240x240 px, Head, Axial plane
FLAIR MR.
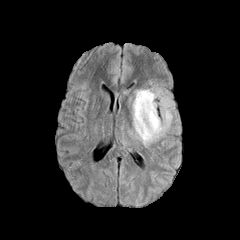
T1-weighted MRI.
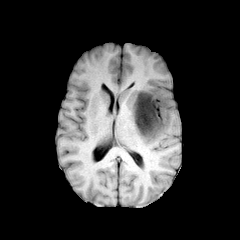
Post-contrast T1-weighted MR image.
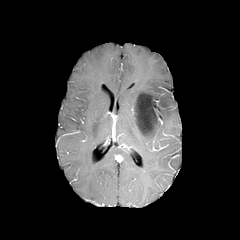
T2-weighted MRI.
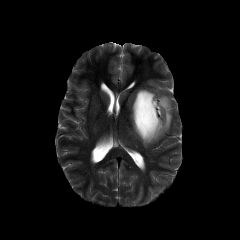
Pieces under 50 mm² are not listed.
Findings:
• peritumoral edema: (132, 89, 172, 146)
• necrotic tumor core: (137, 95, 156, 133)
• enhancing tumor: (142, 95, 158, 134)